FLAIR MR image.
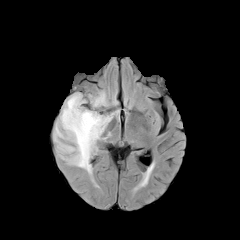
T1-weighted MR image.
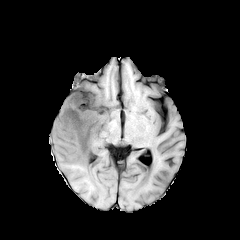
Post-contrast T1-weighted MR image.
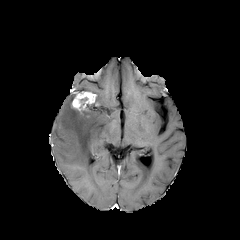
T2-weighted MRI.
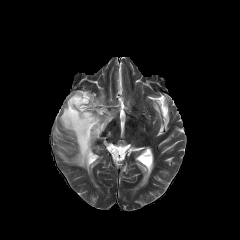
Axial plane
enhancing tumor: (x1=71, y1=91, x2=99, y2=112) | peritumoral edema: (x1=53, y1=92, x2=113, y2=174)